FLAIR MR image.
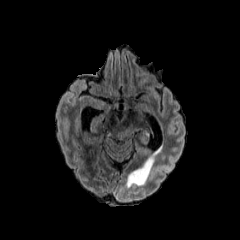
T1-weighted MRI.
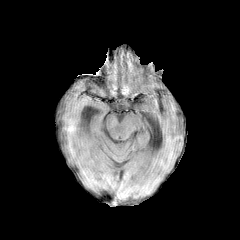
Post-contrast T1-weighted MRI.
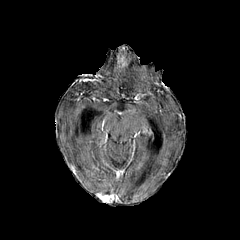
T2-weighted MR.
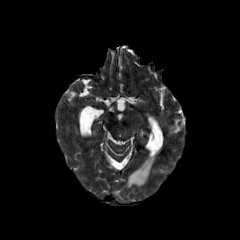
Brain. Axial slice.
<segmentation>
  <peritumoral_edema>118 125 132 139</peritumoral_edema>
</segmentation>